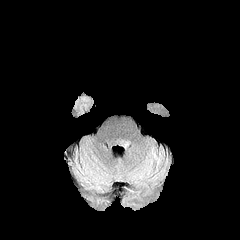
FLAIR MRI.
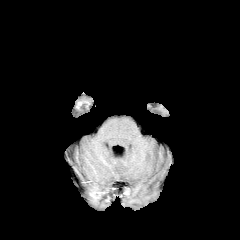
T1-weighted MRI.
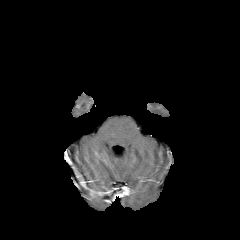
Post-contrast T1-weighted magnetic resonance of the same slice.
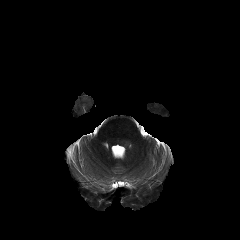
T2-weighted MR.
Brain.
Segmented structures:
• peritumoral edema: (left=117, top=138, right=129, bottom=147)